Image width 240 mm, 1.00 mm slice spacing; Brain
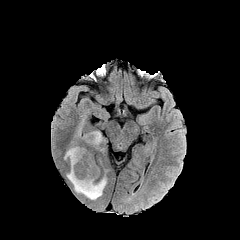
FLAIR MRI.
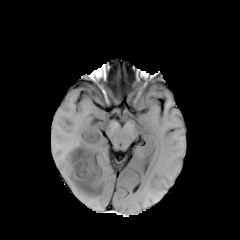
Same slice, T1-weighted MRI.
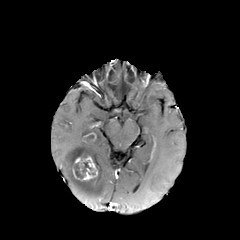
Post-contrast T1-weighted magnetic resonance.
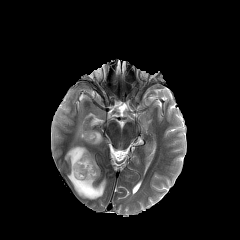
T2-weighted magnetic resonance.
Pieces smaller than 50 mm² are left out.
enhancing tumor = left=73, top=155, right=98, bottom=180
necrotic tumor core = left=73, top=162, right=92, bottom=178; left=84, top=134, right=94, bottom=141
peritumoral edema = left=75, top=119, right=84, bottom=139; left=83, top=130, right=104, bottom=150; left=64, top=145, right=106, bottom=200